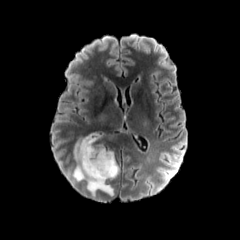
FLAIR MRI.
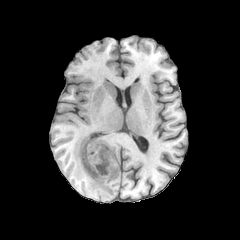
Same slice, T1-weighted MR image.
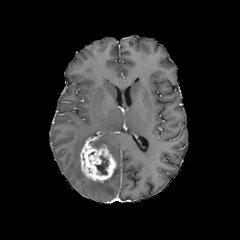
Post-contrast T1-weighted MR image.
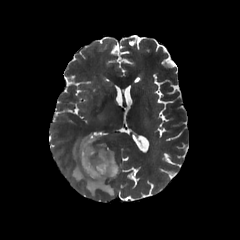
Same slice, T2-weighted MRI.
Head.
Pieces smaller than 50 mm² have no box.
{
  "peritumoral_edema": [
    "(left=72, top=134, right=113, bottom=195)",
    "(left=109, top=163, right=119, bottom=178)"
  ],
  "necrotic_tumor_core": [
    "(left=95, top=155, right=108, bottom=174)"
  ],
  "enhancing_tumor": [
    "(left=80, top=137, right=116, bottom=182)"
  ]
}